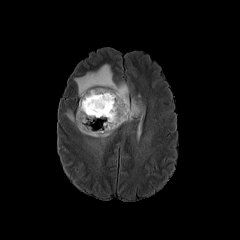
FLAIR MRI.
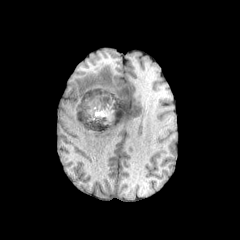
T1-weighted MR.
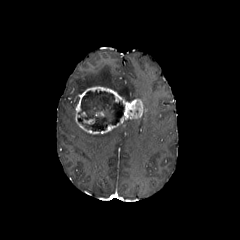
Post-contrast T1-weighted MR image.
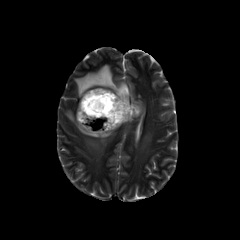
Same slice, T2-weighted MR image.
Brain. Axial slice.
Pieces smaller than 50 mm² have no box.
The 2 largest peritumoral edema regions appear at {"x1": 66, "y1": 111, "x2": 118, "y2": 142}, {"x1": 74, "y1": 64, "x2": 129, "y2": 100}. The necrotic tumor core is located at {"x1": 78, "y1": 90, "x2": 124, "y2": 131}. The largest enhancing tumor region appears at {"x1": 75, "y1": 86, "x2": 143, "y2": 134}.